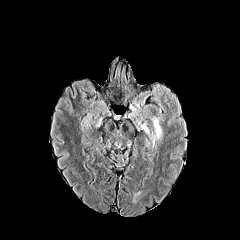
FLAIR magnetic resonance.
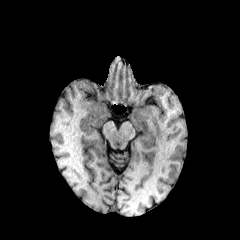
T1-weighted MR image of the same slice.
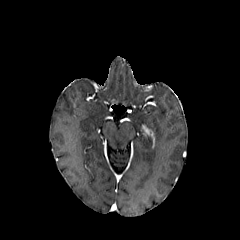
Post-contrast T1-weighted MR.
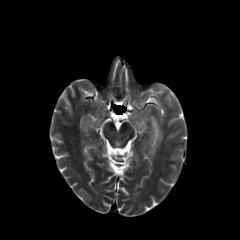
T2-weighted MRI.
Brain | Axial slice
peritumoral edema: bbox=[151, 118, 161, 141]